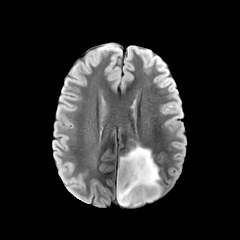
FLAIR magnetic resonance.
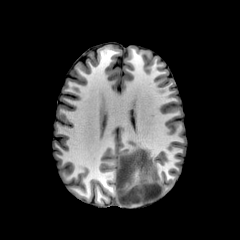
T1-weighted magnetic resonance.
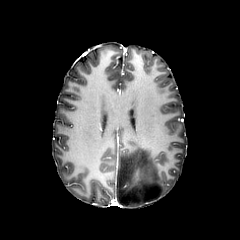
Post-contrast T1-weighted MR image.
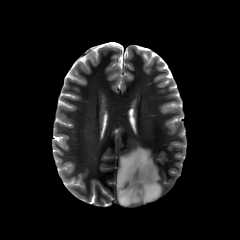
T2-weighted MR image of the same slice.
Brain; Axial slice
{
  "peritumoral_edema": [
    "x1=116, y1=145, x2=161, y2=206"
  ]
}